FLAIR magnetic resonance.
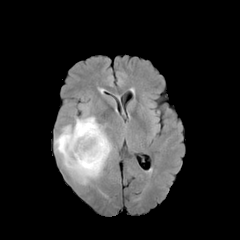
T1-weighted MRI.
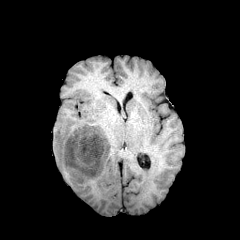
Post-contrast T1-weighted MR image.
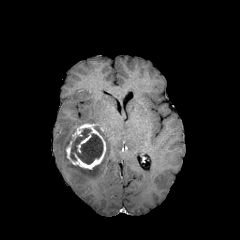
T2-weighted MRI.
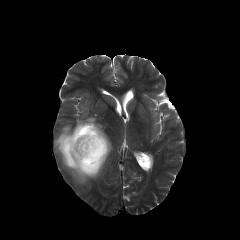
Image size 240x240
The enhancing tumor is at x1=65, y1=123, x2=106, y2=169. The necrotic tumor core appears at x1=70, y1=128, x2=102, y2=164. The peritumoral edema appears at x1=54, y1=116, x2=112, y2=185.